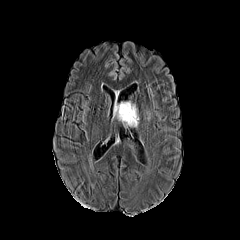
FLAIR magnetic resonance.
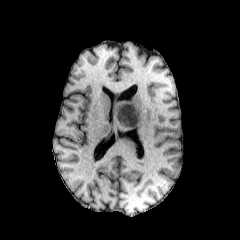
T1-weighted MRI.
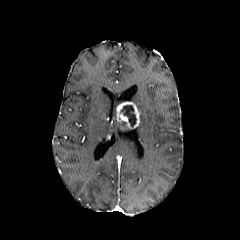
Post-contrast T1-weighted MR.
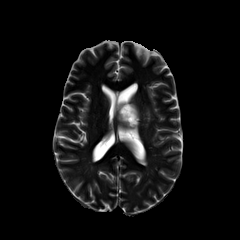
Same slice, T2-weighted MR.
240x240 px
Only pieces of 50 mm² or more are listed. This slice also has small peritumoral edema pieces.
<segmentation>
  <necrotic_tumor_core>rect(121, 105, 136, 126)</necrotic_tumor_core>
  <enhancing_tumor>rect(116, 101, 139, 128)</enhancing_tumor>
</segmentation>